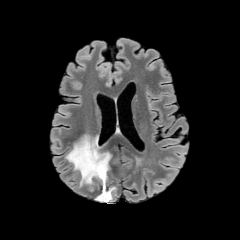
FLAIR magnetic resonance.
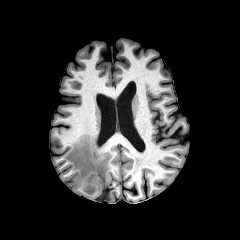
Same slice, T1-weighted magnetic resonance.
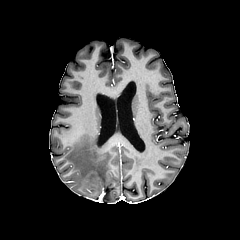
Post-contrast T1-weighted MR.
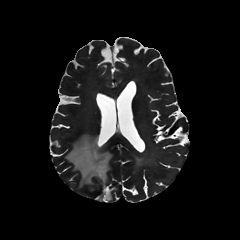
T2-weighted MR image.
Axial plane, Head
Segmented structures:
* peritumoral edema: (x1=106, y1=187, x2=114, y2=199), (x1=65, y1=135, x2=111, y2=188)